FLAIR MR image.
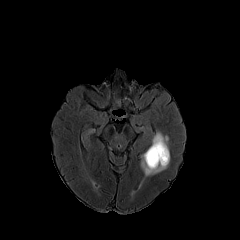
T1-weighted MR image.
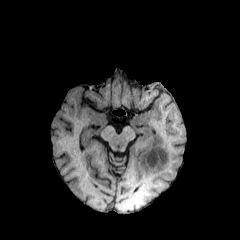
Post-contrast T1-weighted MR.
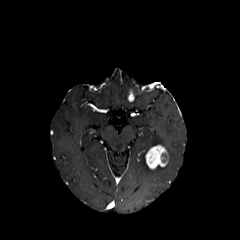
T2-weighted MRI.
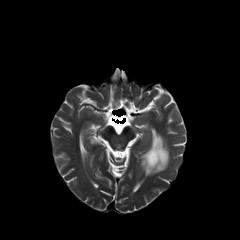
Head | 240x240 px
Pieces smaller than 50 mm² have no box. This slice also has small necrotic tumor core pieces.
{
  "peritumoral_edema": [
    "141:131:169:177"
  ],
  "enhancing_tumor": [
    "145:144:168:169"
  ]
}